FLAIR MRI.
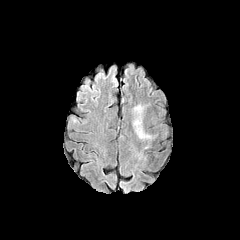
T1-weighted MRI.
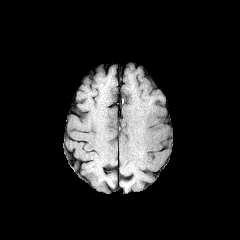
Post-contrast T1-weighted MR.
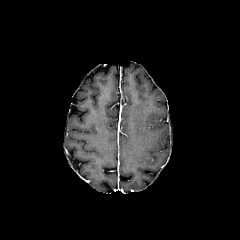
T2-weighted magnetic resonance.
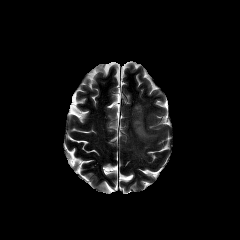
Axial slice; Head; 240x240
peritumoral edema = x1=132, y1=104, x2=155, y2=140